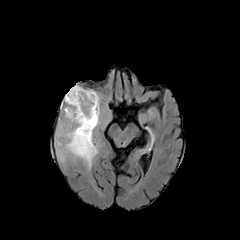
FLAIR MRI.
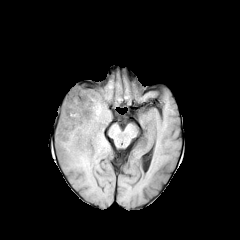
T1-weighted MR image.
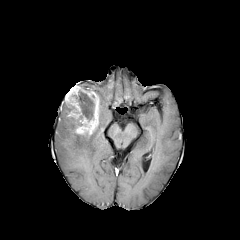
Same slice, post-contrast T1-weighted MR image.
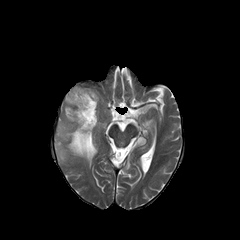
T2-weighted magnetic resonance.
Image size 240x240; Head
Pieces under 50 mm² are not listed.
necrotic_tumor_core:
  - 78 91 94 120
enhancing_tumor:
  - 65 85 99 136
peritumoral_edema:
  - 56 106 97 166